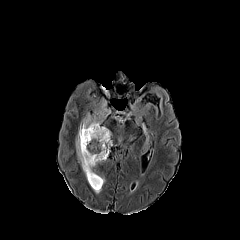
FLAIR MRI.
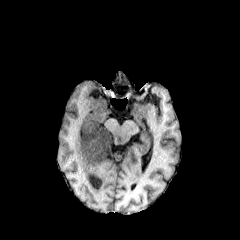
T1-weighted MR image.
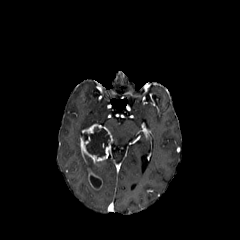
Post-contrast T1-weighted magnetic resonance of the same slice.
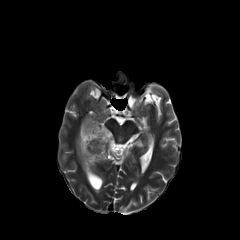
T2-weighted MRI of the same slice.
Brain; 240x240 px
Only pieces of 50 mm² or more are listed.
{
  "enhancing_tumor": [
    "x1=88, y1=168, x2=102, y2=190",
    "x1=80, y1=123, x2=112, y2=164"
  ],
  "necrotic_tumor_core": [
    "x1=82, y1=127, x2=110, y2=157",
    "x1=90, y1=175, x2=101, y2=188"
  ],
  "peritumoral_edema": [
    "x1=75, y1=111, x2=105, y2=179"
  ]
}